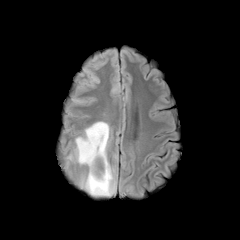
FLAIR MRI.
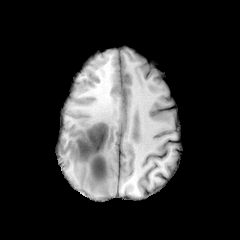
Same slice, T1-weighted MR image.
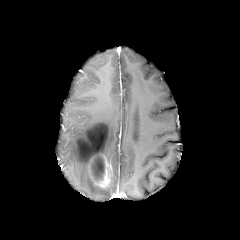
Post-contrast T1-weighted MR image.
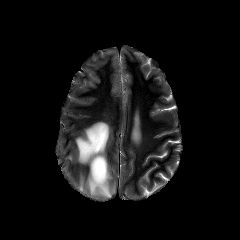
Same slice, T2-weighted MR image.
Head
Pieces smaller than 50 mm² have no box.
* necrotic tumor core: box(92, 155, 104, 179)
* peritumoral edema: box(75, 121, 115, 196)
* enhancing tumor: box(90, 155, 111, 187)